FLAIR MRI.
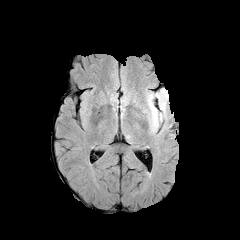
T1-weighted MR.
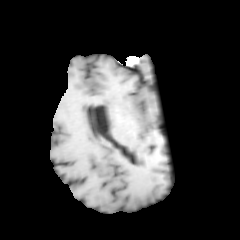
Post-contrast T1-weighted MR image.
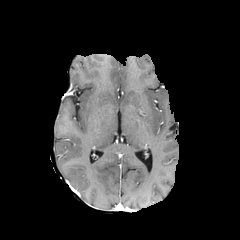
T2-weighted MR image.
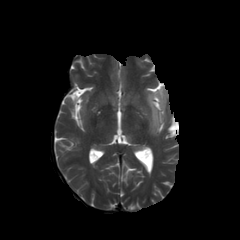
Axial view.
peritumoral edema at 143, 90, 164, 133